FLAIR magnetic resonance.
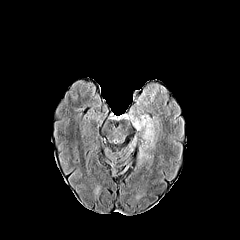
T1-weighted MRI.
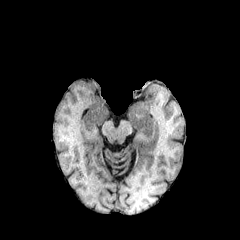
Post-contrast T1-weighted MR image.
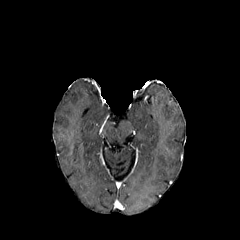
T2-weighted MR image.
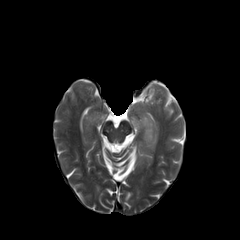
Brain; 240x240
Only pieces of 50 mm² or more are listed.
The largest peritumoral edema region is bounded by rect(132, 114, 154, 141).